Image size 240x240. Brain. Axial slice.
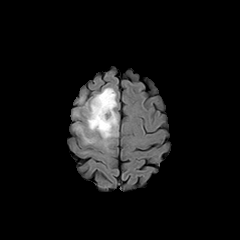
FLAIR MR image.
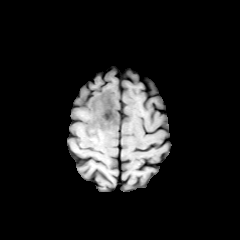
T1-weighted MR of the same slice.
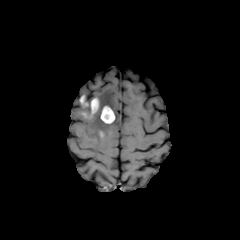
Post-contrast T1-weighted MR.
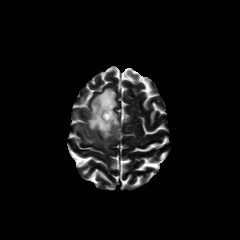
T2-weighted magnetic resonance.
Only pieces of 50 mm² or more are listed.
{"peritumoral_edema": ["75, 125, 96, 143", "83, 87, 118, 148"], "necrotic_tumor_core": ["104, 110, 111, 119"], "enhancing_tumor": ["90, 98, 99, 115", "100, 105, 115, 123", "80, 95, 88, 107"]}